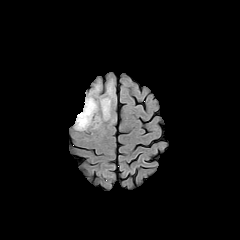
FLAIR MR.
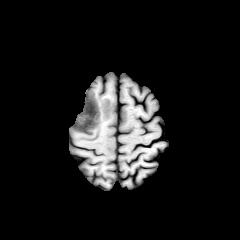
T1-weighted MR.
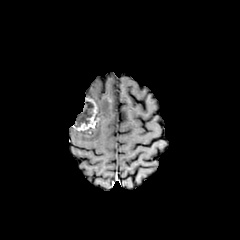
Post-contrast T1-weighted MRI.
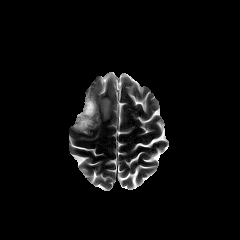
T2-weighted MRI of the same slice.
Brain, Axial slice
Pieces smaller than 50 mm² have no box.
* necrotic tumor core: <box>74,101,93,126</box>
* peritumoral edema: <box>100,98,111,119</box>
* enhancing tumor: <box>73,97,98,130</box>